FLAIR MR image.
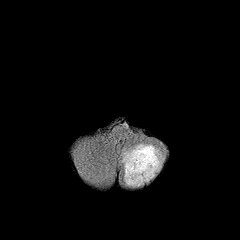
T1-weighted MRI.
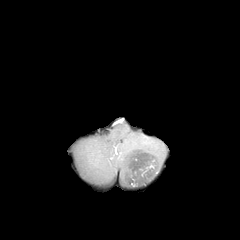
Post-contrast T1-weighted MRI.
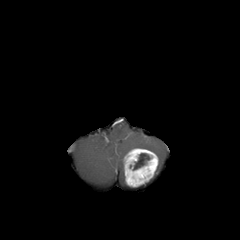
T2-weighted MR.
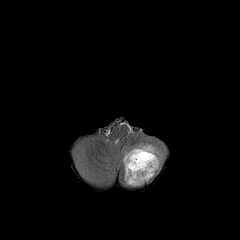
Axial slice | Head | Image size 240x240
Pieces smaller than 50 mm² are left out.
Annotated regions:
* peritumoral edema: bbox(119, 139, 165, 176)
* necrotic tumor core: bbox(133, 153, 150, 170)
* enhancing tumor: bbox(123, 148, 158, 186)